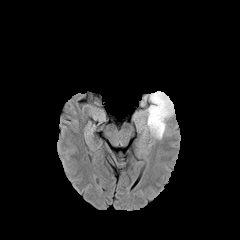
FLAIR magnetic resonance.
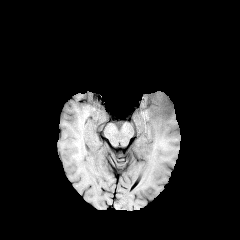
T1-weighted magnetic resonance of the same slice.
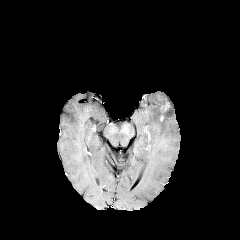
Post-contrast T1-weighted MRI of the same slice.
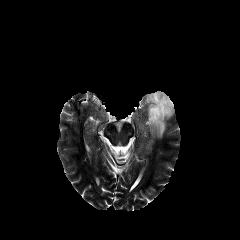
Same slice, T2-weighted MRI.
Brain
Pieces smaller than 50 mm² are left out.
enhancing tumor — 161:101:170:111
peritumoral edema — 139:91:174:139